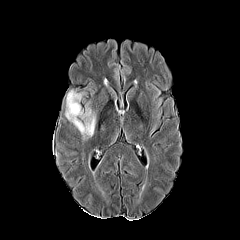
FLAIR MR image.
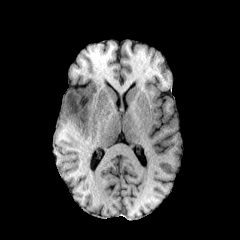
T1-weighted MR image.
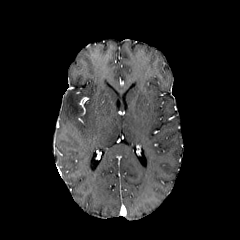
Post-contrast T1-weighted MR of the same slice.
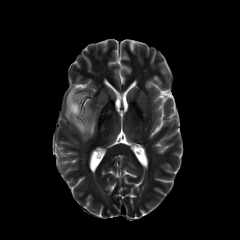
T2-weighted MR.
Axial plane, Image size 240x240
The peritumoral edema lies within (65,90,97,140).